Head.
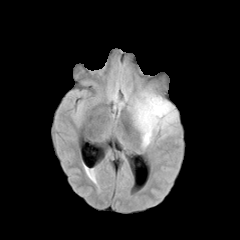
FLAIR MRI.
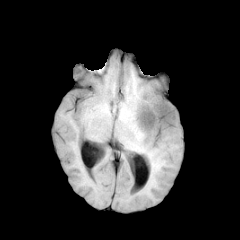
T1-weighted MR image.
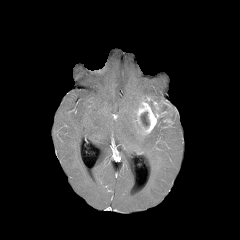
Post-contrast T1-weighted MR image.
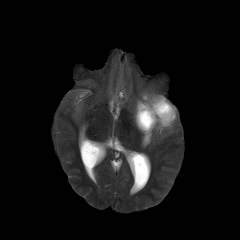
T2-weighted MR image.
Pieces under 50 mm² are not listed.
peritumoral_edema:
  - 133 91 173 147
necrotic_tumor_core:
  - 140 112 149 126
enhancing_tumor:
  - 135 96 177 134